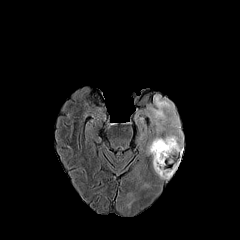
FLAIR MRI.
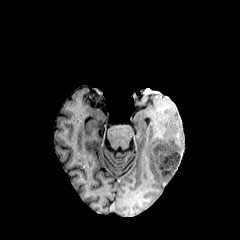
T1-weighted MR.
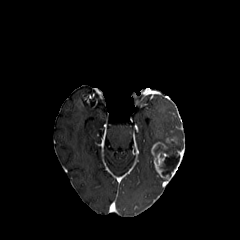
Post-contrast T1-weighted MR of the same slice.
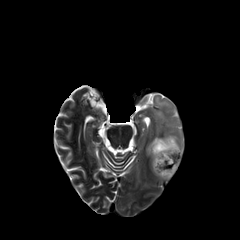
T2-weighted MR image of the same slice.
Brain, Axial slice
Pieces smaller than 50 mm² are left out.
enhancing tumor = 151,142,183,180; 165,138,176,143
peritumoral edema = 147,96,183,154
necrotic tumor core = 155,143,179,176